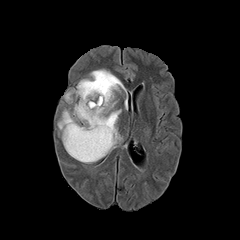
FLAIR magnetic resonance.
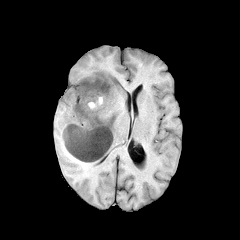
T1-weighted MRI.
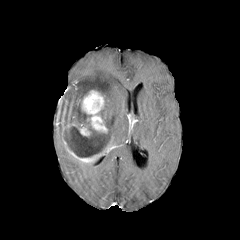
Post-contrast T1-weighted MRI.
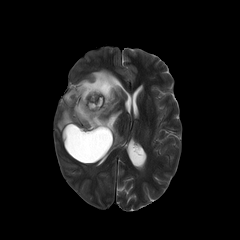
T2-weighted MR.
Axial plane; Brain
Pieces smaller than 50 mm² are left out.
The largest peritumoral edema region appears at l=58, t=69, r=125, b=148. The enhancing tumor lies within l=61, t=90, r=113, b=163. The necrotic tumor core appears at l=68, t=127, r=107, b=157.